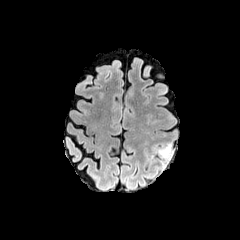
FLAIR MR.
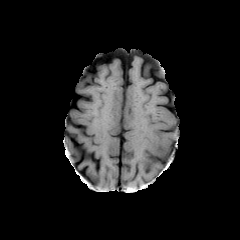
T1-weighted MR image of the same slice.
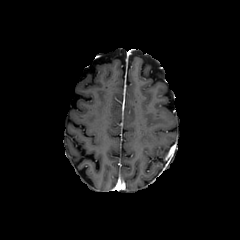
Post-contrast T1-weighted MRI.
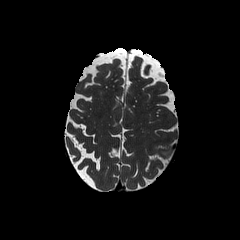
T2-weighted MR of the same slice.
240x240.
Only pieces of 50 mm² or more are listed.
peritumoral edema: rect(158, 143, 170, 157)